Axial view; Slice 107/155
FLAIR magnetic resonance.
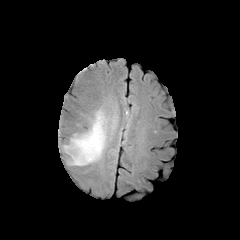
T1-weighted magnetic resonance.
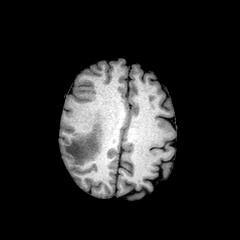
Post-contrast T1-weighted MR image.
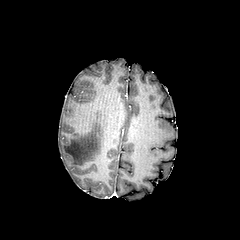
T2-weighted MR.
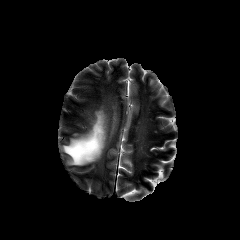
peritumoral edema: bounding box 63, 110, 106, 165